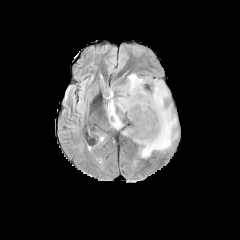
FLAIR MRI.
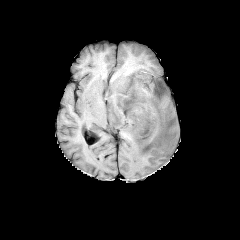
Same slice, T1-weighted magnetic resonance.
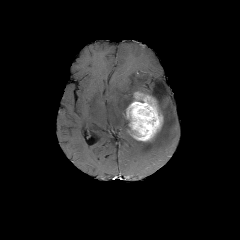
Same slice, post-contrast T1-weighted magnetic resonance.
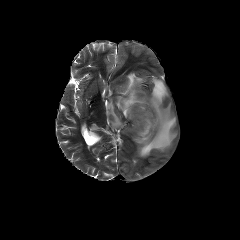
Same slice, T2-weighted MRI.
Axial view, Brain
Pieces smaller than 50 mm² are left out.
peritumoral_edema:
  - 106:73:177:157
enhancing_tumor:
  - 125:91:163:141